FLAIR MR image.
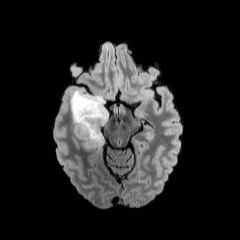
T1-weighted MR image.
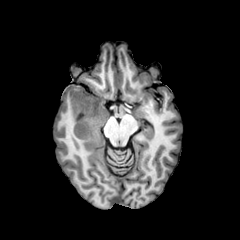
Post-contrast T1-weighted MR.
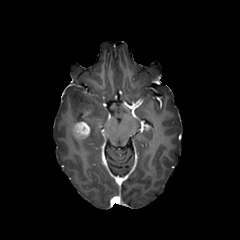
T2-weighted MR.
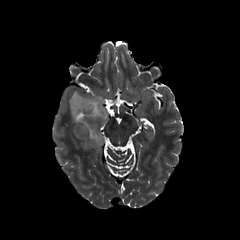
Brain.
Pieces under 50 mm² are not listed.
The largest enhancing tumor region is bounded by 73, 121, 90, 139. The peritumoral edema is located at 70, 89, 108, 151.